FLAIR MR.
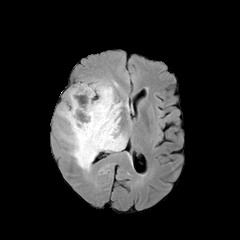
T1-weighted MR image.
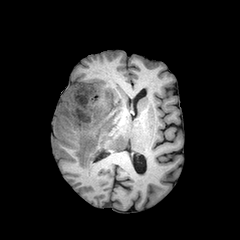
Post-contrast T1-weighted MRI.
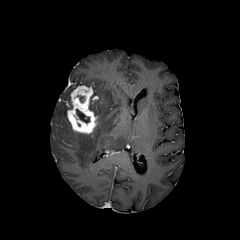
T2-weighted magnetic resonance.
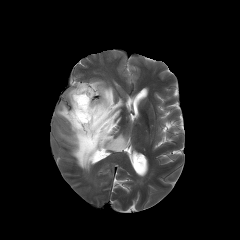
Brain
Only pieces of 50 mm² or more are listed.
enhancing tumor at [x1=67, y1=85, x2=97, y2=133]
peritumoral edema at [x1=57, y1=80, x2=127, y2=171]
necrotic tumor core at [x1=76, y1=109, x2=89, y2=122]